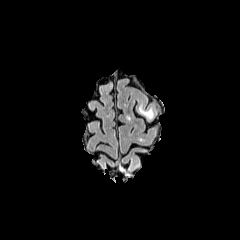
FLAIR magnetic resonance.
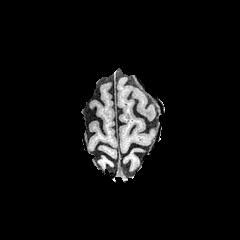
T1-weighted MR image of the same slice.
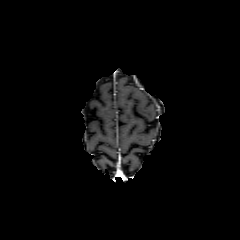
Same slice, post-contrast T1-weighted MR image.
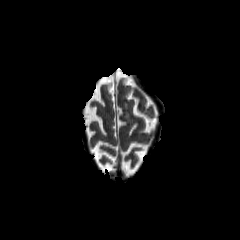
T2-weighted MRI of the same slice.
Image size 240x240; Head; Axial slice
peritumoral edema: bounding box l=139, t=106, r=153, b=119